Brain.
FLAIR magnetic resonance.
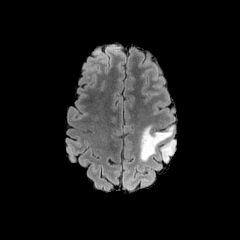
T1-weighted MRI.
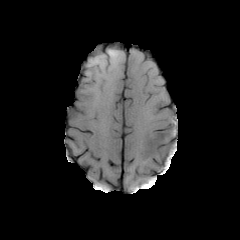
Post-contrast T1-weighted MR.
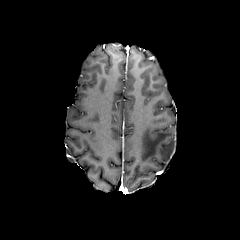
T2-weighted MRI.
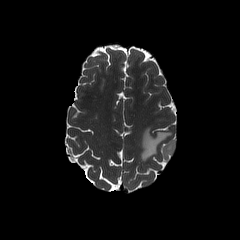
{"peritumoral_edema": ["140 125 173 161", "160 140 175 161"]}